Image size 240x240, Slice 94 of 155, Brain
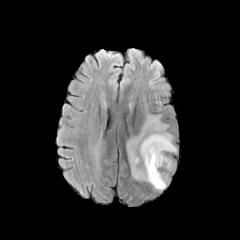
FLAIR MR.
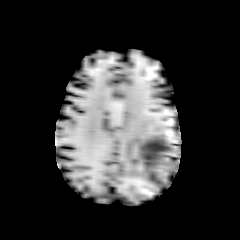
T1-weighted MRI of the same slice.
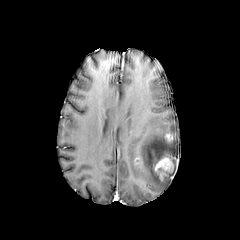
Post-contrast T1-weighted MR image.
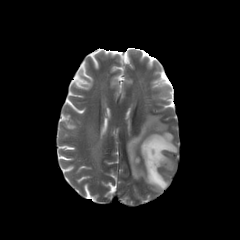
T2-weighted MR.
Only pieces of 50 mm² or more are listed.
peritumoral_edema:
  - [127,115,177,189]
enhancing_tumor:
  - [155,156,173,180]